Head; 240x240; Slice index 94; Axial plane
FLAIR MR image.
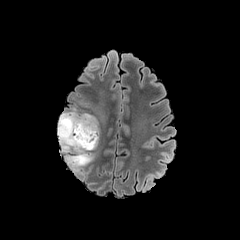
T1-weighted MR image.
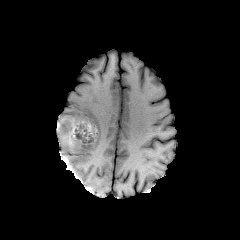
Post-contrast T1-weighted MRI.
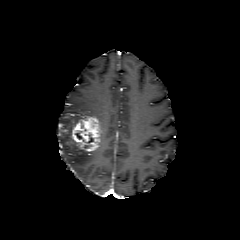
T2-weighted MR.
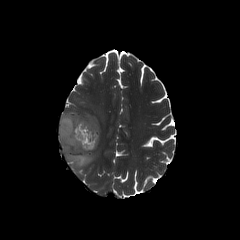
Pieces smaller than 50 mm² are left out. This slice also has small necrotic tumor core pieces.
Annotated regions:
- peritumoral edema: (x1=58, y1=111, x2=94, y2=171)
- enhancing tumor: (x1=70, y1=116, x2=100, y2=151)